Image width 240 mm, Brain, Slice 98/155
FLAIR magnetic resonance.
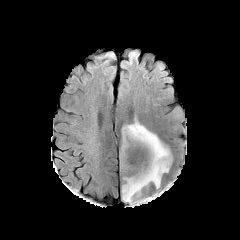
T1-weighted magnetic resonance.
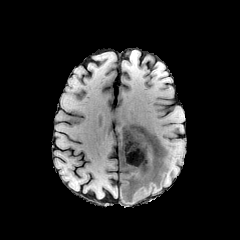
Post-contrast T1-weighted MR image.
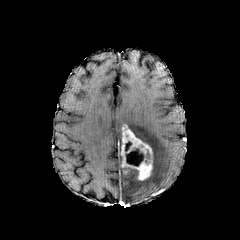
T2-weighted MRI.
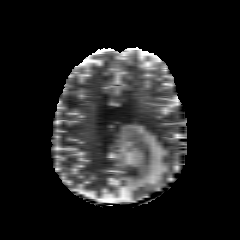
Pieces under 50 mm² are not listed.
The largest peritumoral edema region lies within {"x1": 121, "y1": 121, "x2": 169, "y2": 202}. The largest necrotic tumor core region is at {"x1": 126, "y1": 149, "x2": 144, "y2": 166}. The largest enhancing tumor region lies within {"x1": 120, "y1": 125, "x2": 152, "y2": 180}.